FLAIR magnetic resonance.
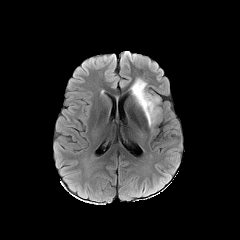
T1-weighted magnetic resonance.
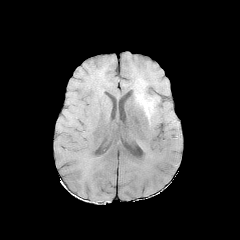
Post-contrast T1-weighted MR.
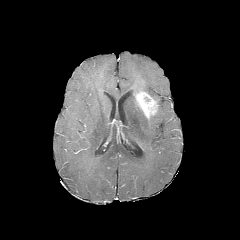
T2-weighted MRI.
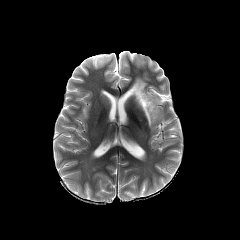
Axial plane | Image size 240x240
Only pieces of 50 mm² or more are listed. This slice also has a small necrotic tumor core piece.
{"peritumoral_edema": ["(147,107,160,126)", "(131,79,146,99)"], "enhancing_tumor": ["(135,91,157,118)"]}